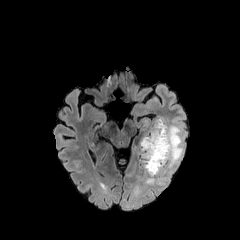
FLAIR MR image.
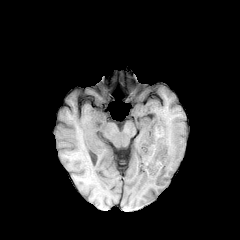
T1-weighted MR.
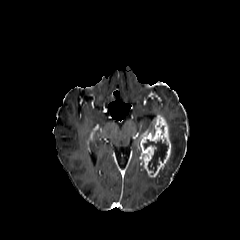
Post-contrast T1-weighted MRI.
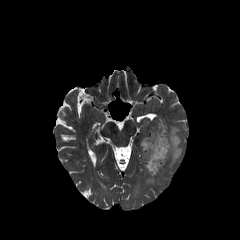
T2-weighted MR.
Image size 240x240
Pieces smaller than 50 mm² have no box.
enhancing tumor — (x1=138, y1=114, x2=171, y2=177)
necrotic tumor core — (x1=143, y1=139, x2=168, y2=172)
peritumoral edema — (x1=133, y1=176, x2=141, y2=192), (x1=143, y1=119, x2=183, y2=184)